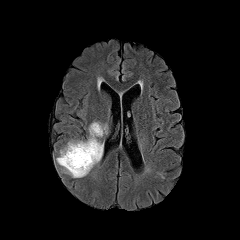
FLAIR MR.
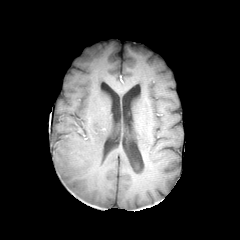
T1-weighted MR image of the same slice.
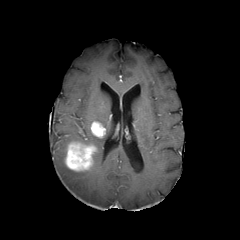
Post-contrast T1-weighted MR image.
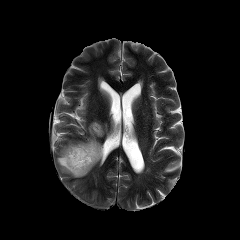
T2-weighted MRI of the same slice.
Axial plane, Brain, 240x240 px
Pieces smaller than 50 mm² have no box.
The largest peritumoral edema region is bounded by <bbox>56, 124, 103, 177</bbox>. 2 enhancing tumor regions are bounded by <bbox>91, 122, 105, 137</bbox>, <bbox>65, 142, 96, 171</bbox>.